Axial view, Head, Image covers 240 mm x 240 mm
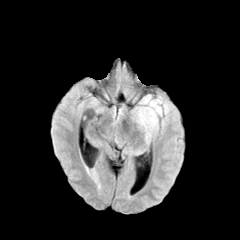
FLAIR magnetic resonance.
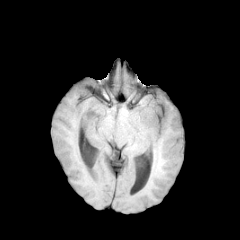
T1-weighted magnetic resonance of the same slice.
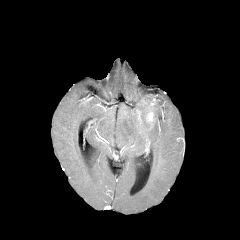
Same slice, post-contrast T1-weighted MR.
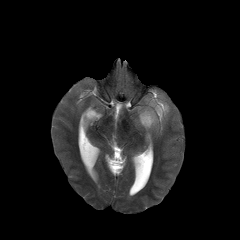
T2-weighted magnetic resonance.
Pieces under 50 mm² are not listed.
<segmentation>
  <enhancing_tumor>144 108 155 126</enhancing_tumor>
  <peritumoral_edema>138 97 169 140</peritumoral_edema>
</segmentation>